Axial slice
FLAIR MR.
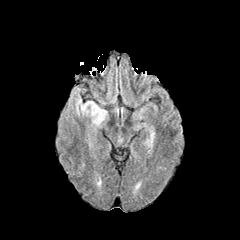
T1-weighted MR image.
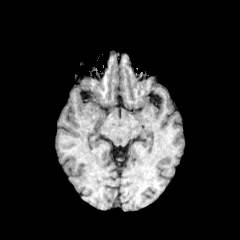
Post-contrast T1-weighted magnetic resonance.
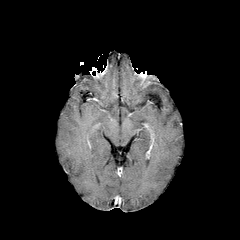
T2-weighted MR image.
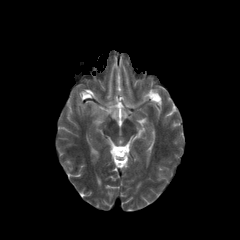
peritumoral edema: bbox(75, 96, 107, 126)